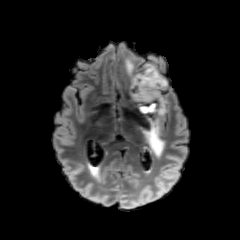
FLAIR magnetic resonance.
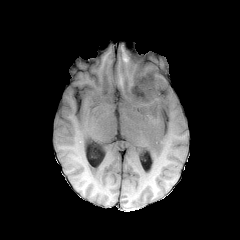
T1-weighted MRI.
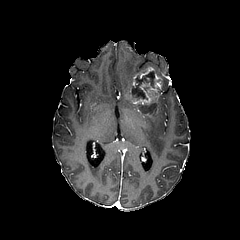
Post-contrast T1-weighted magnetic resonance.
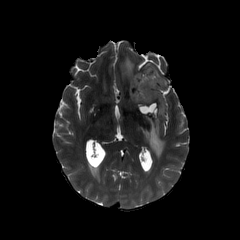
T2-weighted MR.
Brain; Axial plane; 240x240
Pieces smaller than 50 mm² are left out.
necrotic tumor core: box=[134, 71, 154, 99]; box=[140, 105, 154, 112]
enhancing tumor: box=[133, 67, 162, 113]
peritumoral edema: box=[157, 93, 165, 116]; box=[124, 57, 135, 88]; box=[143, 117, 164, 156]